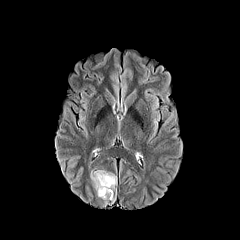
FLAIR MR.
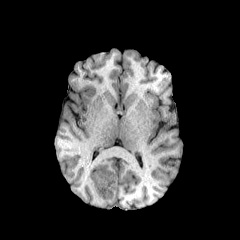
T1-weighted MRI of the same slice.
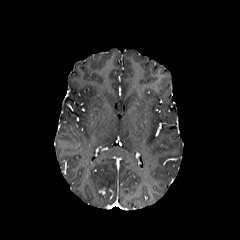
Post-contrast T1-weighted MR image.
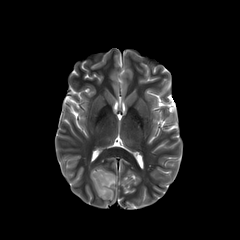
T2-weighted MR image.
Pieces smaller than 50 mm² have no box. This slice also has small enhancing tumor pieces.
peritumoral_edema:
  - [90, 170, 116, 204]